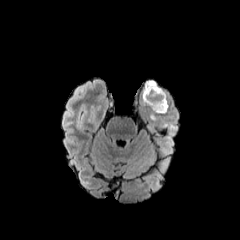
FLAIR MRI.
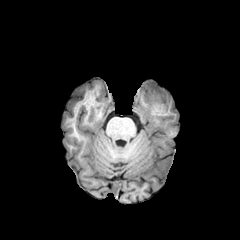
Same slice, T1-weighted MRI.
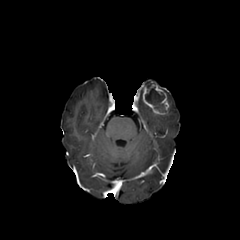
Post-contrast T1-weighted MR image of the same slice.
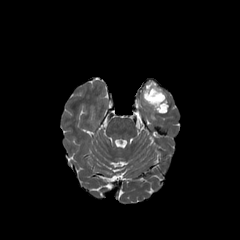
T2-weighted magnetic resonance.
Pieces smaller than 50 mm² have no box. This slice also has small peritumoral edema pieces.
The largest necrotic tumor core region lies within (145, 87, 164, 111). The enhancing tumor is at (142, 81, 169, 114).